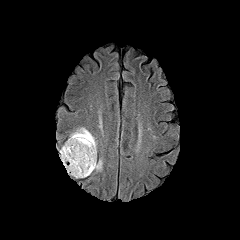
FLAIR MR image.
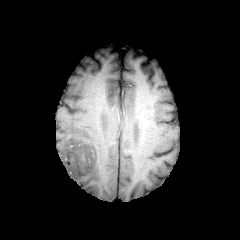
T1-weighted MR image.
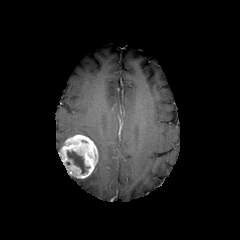
Post-contrast T1-weighted MR.
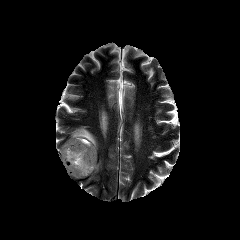
T2-weighted magnetic resonance.
Axial view
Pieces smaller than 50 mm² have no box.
Annotated regions:
• peritumoral edema: 94 159 102 170, 70 127 97 146
• necrotic tumor core: 67 151 89 173
• enhancing tumor: 59 134 97 178